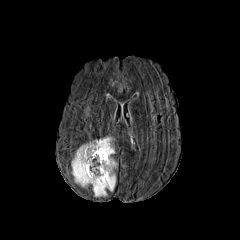
FLAIR MR.
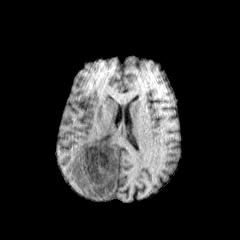
T1-weighted MR image of the same slice.
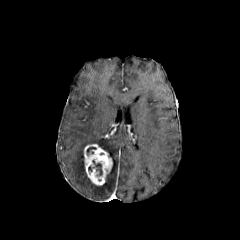
Same slice, post-contrast T1-weighted MR.
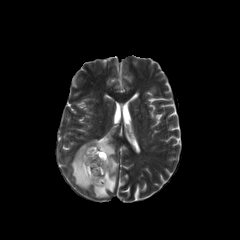
T2-weighted MR of the same slice.
Axial plane | Head
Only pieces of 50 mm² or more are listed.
{"enhancing_tumor": ["(84,144,112,185)"], "necrotic_tumor_core": ["(95,163,102,175)"], "peritumoral_edema": ["(71,137,117,197)"]}